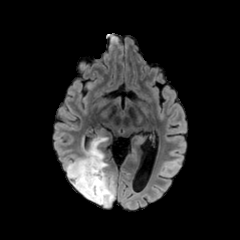
FLAIR MRI.
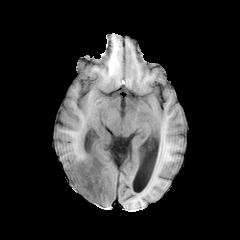
T1-weighted magnetic resonance of the same slice.
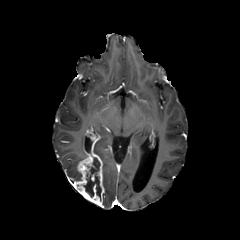
Post-contrast T1-weighted magnetic resonance.
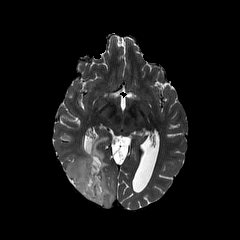
T2-weighted MR.
Head
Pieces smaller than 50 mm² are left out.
The largest enhancing tumor region appears at (71,148,104,205). The peritumoral edema appears at (66,135,115,207). The necrotic tumor core is at (83,157,101,200).